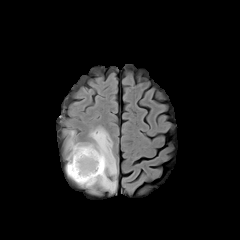
FLAIR MR image.
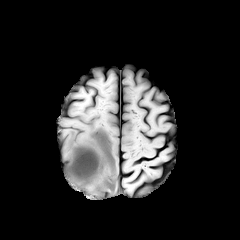
T1-weighted MR image.
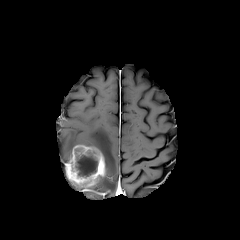
Post-contrast T1-weighted MR image of the same slice.
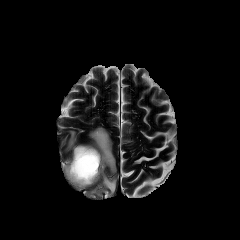
T2-weighted MRI.
240x240 px; Head
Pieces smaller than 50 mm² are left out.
Segmented structures:
• peritumoral edema: x1=66, y1=127, x2=117, y2=192
• necrotic tumor core: x1=76, y1=152, x2=97, y2=176
• enhancing tumor: x1=65, y1=145, x2=105, y2=187